FLAIR MRI.
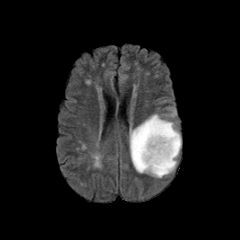
T1-weighted MRI.
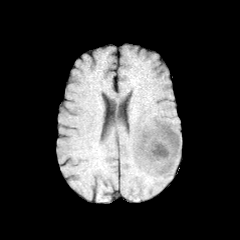
Post-contrast T1-weighted magnetic resonance.
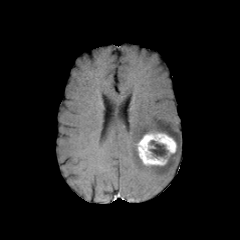
T2-weighted MRI.
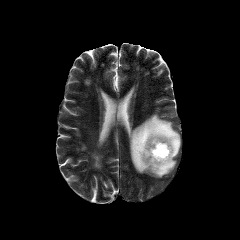
Brain | Axial view
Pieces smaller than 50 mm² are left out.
<segmentation>
  <enhancing_tumor>box=[136, 131, 177, 165]</enhancing_tumor>
  <peritumoral_edema>box=[129, 114, 181, 177]</peritumoral_edema>
  <necrotic_tumor_core>box=[150, 140, 167, 156]</necrotic_tumor_core>
</segmentation>